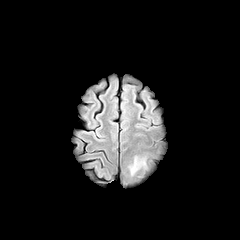
FLAIR MR image.
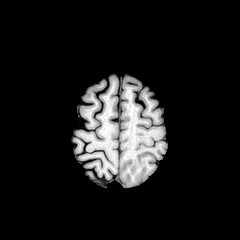
T1-weighted magnetic resonance.
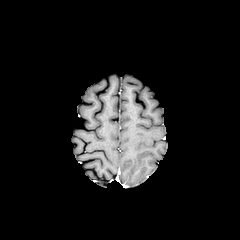
Post-contrast T1-weighted MR image.
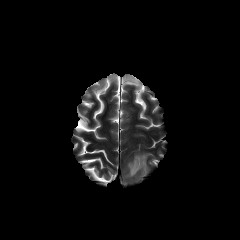
Same slice, T2-weighted MR.
Head
peritumoral edema at 130, 157, 145, 175